240x240 | Slice 87 of 155 | Axial plane | Head
FLAIR MR image.
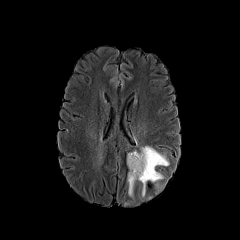
T1-weighted magnetic resonance.
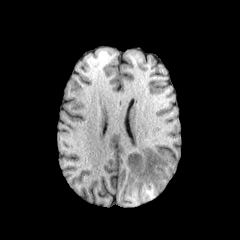
Post-contrast T1-weighted MR image.
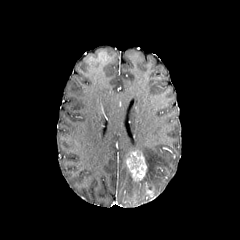
T2-weighted MR.
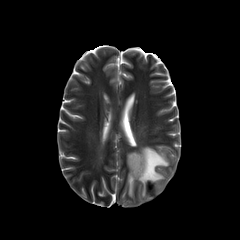
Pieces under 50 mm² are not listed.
{
  "peritumoral_edema": [
    "[127,171,135,197]",
    "[140,146,168,196]"
  ],
  "enhancing_tumor": [
    "[126,151,147,181]"
  ]
}